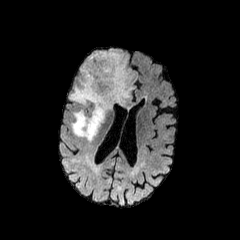
FLAIR MR image.
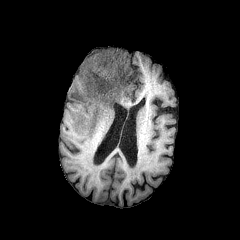
T1-weighted MRI of the same slice.
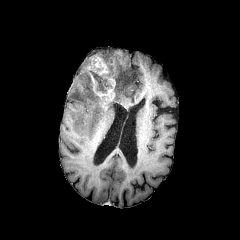
Same slice, post-contrast T1-weighted MRI.
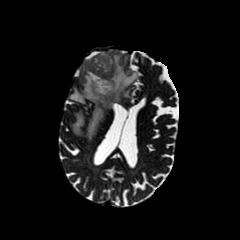
T2-weighted magnetic resonance of the same slice.
Brain; Image size 240x240
The enhancing tumor is bounded by x1=83, y1=52, x2=124, y2=108. The peritumoral edema is located at x1=69, y1=50, x2=136, y2=140. The necrotic tumor core lies within x1=89, y1=71, x2=111, y2=92.